240x240; Slice 84 of 155
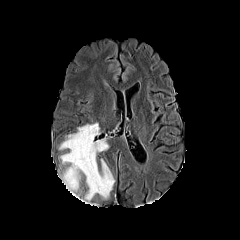
FLAIR magnetic resonance.
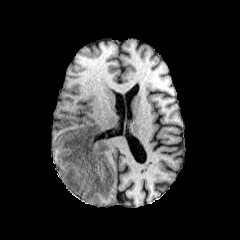
Same slice, T1-weighted MRI.
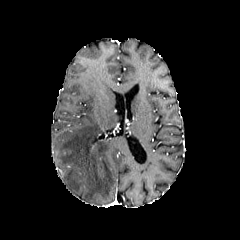
Post-contrast T1-weighted MR of the same slice.
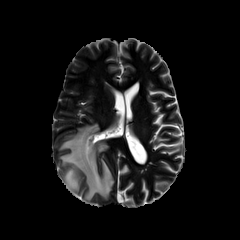
T2-weighted MR image.
{"peritumoral_edema": ["<box>59,123,114,201</box>"]}